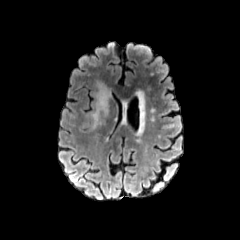
FLAIR magnetic resonance.
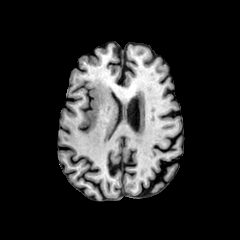
Same slice, T1-weighted magnetic resonance.
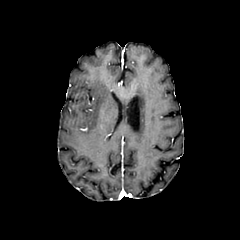
Post-contrast T1-weighted magnetic resonance.
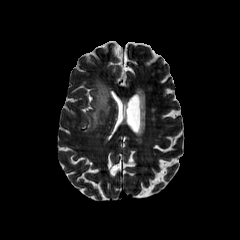
T2-weighted MR image.
Axial plane
peritumoral edema: x1=90, y1=81, x2=110, y2=128